Slice 39 of 155, Axial view, Brain
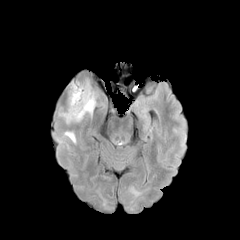
FLAIR magnetic resonance.
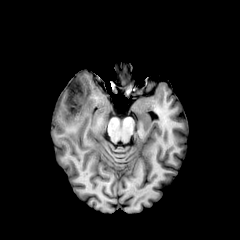
T1-weighted MR image.
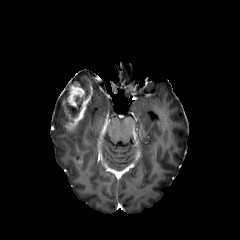
Same slice, post-contrast T1-weighted MR.
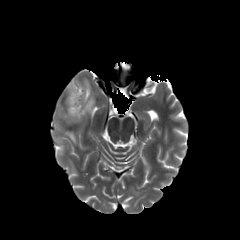
T2-weighted magnetic resonance of the same slice.
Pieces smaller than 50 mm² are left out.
enhancing tumor: x1=63, y1=78, x2=92, y2=128 | necrotic tumor core: x1=67, y1=97, x2=82, y2=117; x1=79, y1=76, x2=90, y2=98 | peritumoral edema: x1=84, y1=92, x2=95, y2=115; x1=64, y1=131, x2=76, y2=143